Image width 240 mm, 1.00 mm slice spacing
FLAIR MR image.
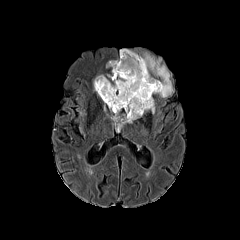
T1-weighted MR.
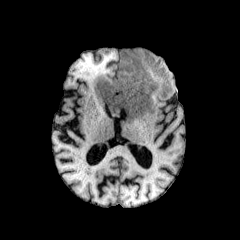
Post-contrast T1-weighted magnetic resonance.
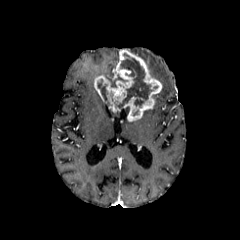
T2-weighted magnetic resonance.
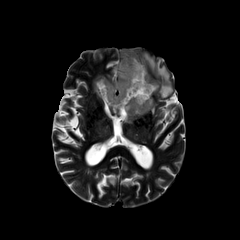
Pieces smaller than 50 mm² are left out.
The largest enhancing tumor region is located at (94,49,162,121). The 2 largest necrotic tumor core regions are bounded by (116,58,152,108), (97,79,107,101). The 4 largest peritumoral edema regions appear at (138,53,173,97), (108,72,126,87), (124,106,132,123), (106,60,118,67).